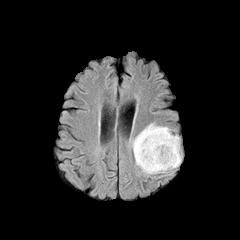
FLAIR magnetic resonance.
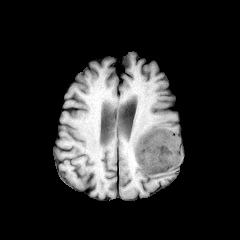
T1-weighted magnetic resonance.
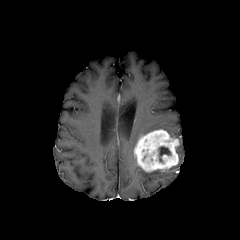
Post-contrast T1-weighted MRI.
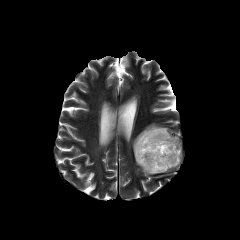
T2-weighted MR image.
Axial view; Head
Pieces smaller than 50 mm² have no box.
The enhancing tumor appears at x1=134, y1=129, x2=179, y2=172. The necrotic tumor core is at x1=159, y1=146, x2=170, y2=161. The 2 largest peritumoral edema regions are bounded by x1=167, y1=146, x2=181, y2=171; x1=132, y1=123, x2=179, y2=152.